Slice 73 of 155; Axial plane; Brain; 240x240 px
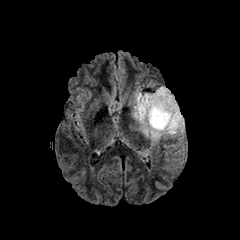
FLAIR MR.
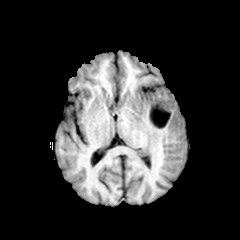
T1-weighted MR image.
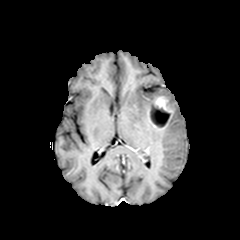
Same slice, post-contrast T1-weighted MR image.
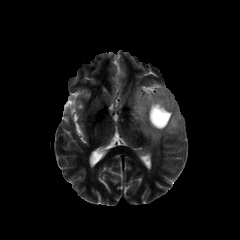
T2-weighted magnetic resonance.
peritumoral_edema:
  - left=132, top=87, right=184, bottom=156
enhancing_tumor:
  - left=147, top=96, right=173, bottom=129
necrotic_tumor_core:
  - left=150, top=104, right=170, bottom=127